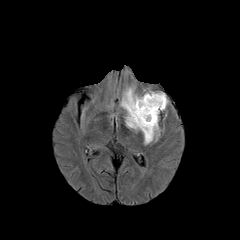
FLAIR MR.
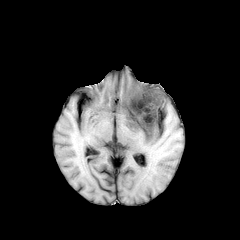
Same slice, T1-weighted MR.
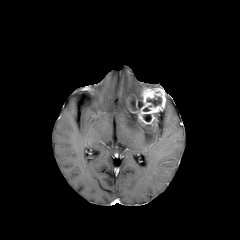
Same slice, post-contrast T1-weighted MRI.
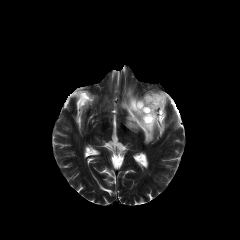
T2-weighted MR.
Axial slice, Brain
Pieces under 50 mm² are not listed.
Segmented structures:
• enhancing tumor: [x1=127, y1=88, x2=166, y2=130]
• peritumoral edema: [x1=120, y1=86, x2=158, y2=144]
• necrotic tumor core: [x1=147, y1=97, x2=161, y2=106], [x1=143, y1=114, x2=151, y2=121]